Slice index 75
FLAIR MRI.
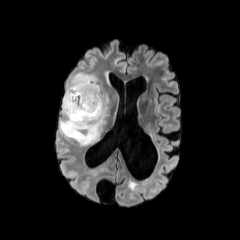
T1-weighted MR image.
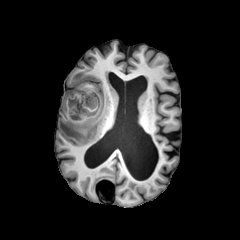
Post-contrast T1-weighted magnetic resonance.
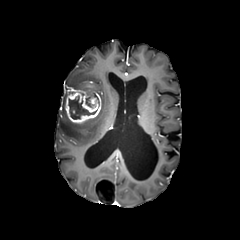
T2-weighted MR image.
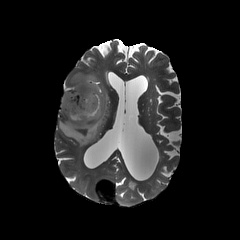
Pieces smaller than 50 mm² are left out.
necrotic tumor core — box=[69, 95, 96, 119]
peritumoral edema — box=[59, 73, 108, 145]
enhancing tumor — box=[65, 87, 101, 123]